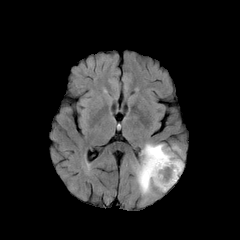
FLAIR MR.
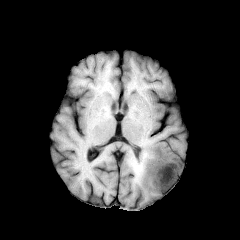
T1-weighted MR of the same slice.
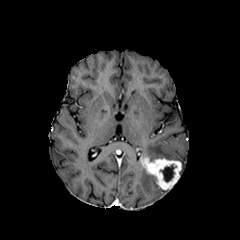
Post-contrast T1-weighted magnetic resonance.
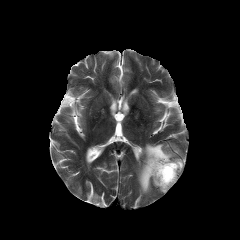
T2-weighted MR.
Axial plane, Brain
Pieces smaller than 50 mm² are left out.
The 2 largest peritumoral edema regions appear at region(137, 160, 166, 194); region(142, 144, 183, 170). The enhancing tumor appears at region(142, 157, 181, 190). The necrotic tumor core is located at region(161, 165, 174, 181).